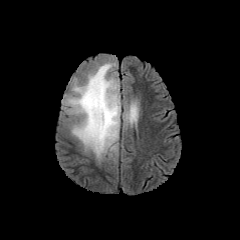
FLAIR magnetic resonance.
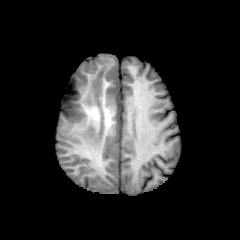
Same slice, T1-weighted magnetic resonance.
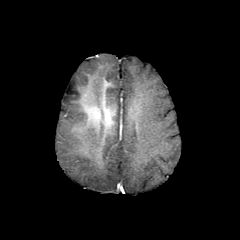
Same slice, post-contrast T1-weighted magnetic resonance.
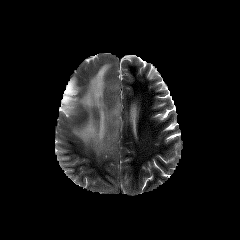
T2-weighted MR of the same slice.
<segmentation>
  <peritumoral_edema>x1=62, y1=61, x2=120, y2=160; x1=123, y1=88, x2=141, y2=130</peritumoral_edema>
</segmentation>